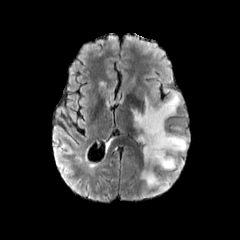
FLAIR magnetic resonance.
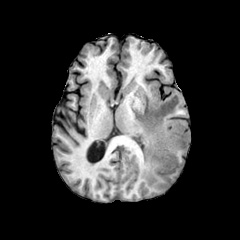
T1-weighted MR.
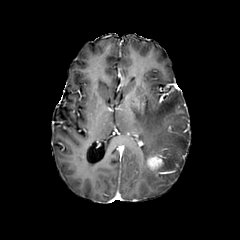
Post-contrast T1-weighted MR.
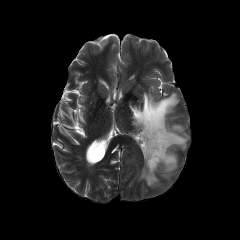
T2-weighted MR image.
Brain
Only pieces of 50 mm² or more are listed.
peritumoral edema: bounding box 131 93 189 186
enhancing tumor: bounding box 147 148 164 171